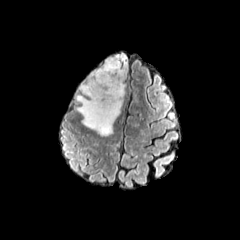
FLAIR magnetic resonance.
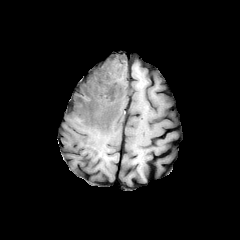
T1-weighted MRI.
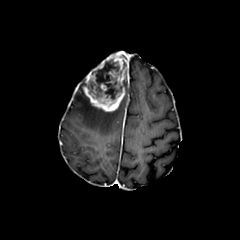
Post-contrast T1-weighted MRI of the same slice.
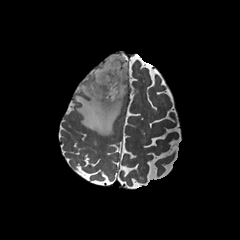
T2-weighted MR.
Axial slice | 240x240 | Brain
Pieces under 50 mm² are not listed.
{"necrotic_tumor_core": ["(x1=86, y1=60, x2=122, y2=103)"], "peritumoral_edema": ["(x1=74, y1=81, x2=123, y2=135)"], "enhancing_tumor": ["(x1=82, y1=52, x2=128, y2=112)"]}